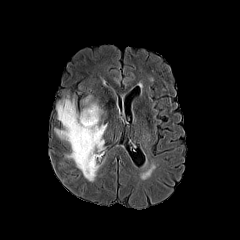
FLAIR magnetic resonance.
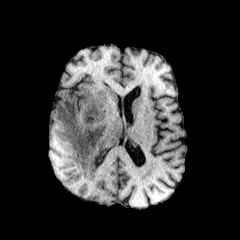
T1-weighted MRI of the same slice.
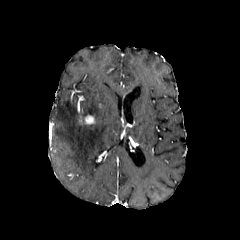
Post-contrast T1-weighted MRI.
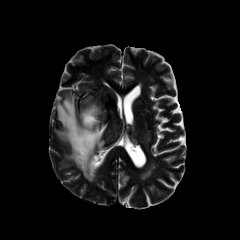
T2-weighted magnetic resonance of the same slice.
enhancing tumor: left=84, top=115, right=95, bottom=124
peritumoral edema: left=55, top=96, right=106, bottom=181